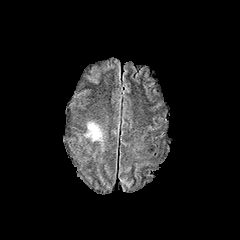
FLAIR MR image.
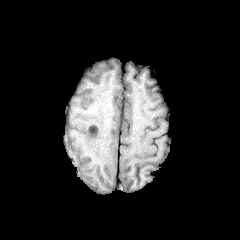
Same slice, T1-weighted MR.
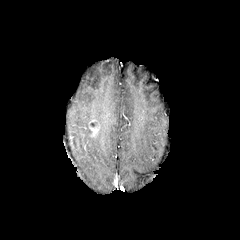
Same slice, post-contrast T1-weighted MR.
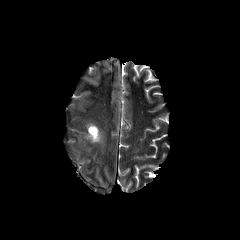
Same slice, T2-weighted MR.
Axial plane
<segmentation>
  <peritumoral_edema>rect(86, 123, 101, 141)</peritumoral_edema>
  <enhancing_tumor>rect(90, 127, 98, 136)</enhancing_tumor>
</segmentation>